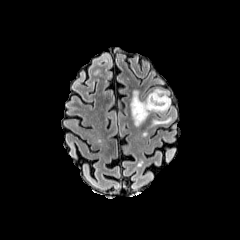
FLAIR MRI.
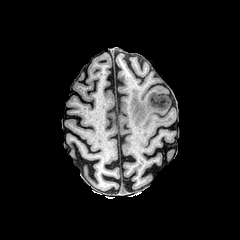
Same slice, T1-weighted MR.
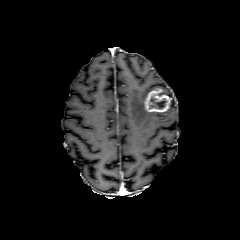
Post-contrast T1-weighted MR image.
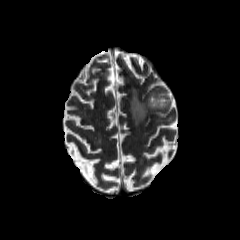
Same slice, T2-weighted magnetic resonance.
Brain, Axial slice, Image size 240x240
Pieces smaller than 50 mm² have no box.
{
  "peritumoral_edema": [
    "left=153, top=118, right=171, bottom=124",
    "left=130, top=90, right=156, bottom=125"
  ],
  "necrotic_tumor_core": [
    "left=148, top=93, right=166, bottom=109"
  ],
  "enhancing_tumor": [
    "left=144, top=88, right=170, bottom=112"
  ]
}